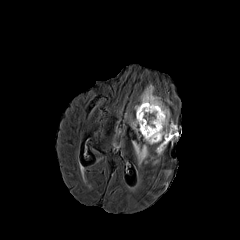
FLAIR MR image.
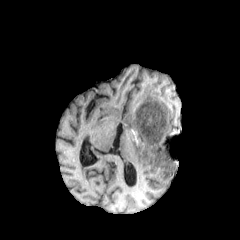
T1-weighted MR.
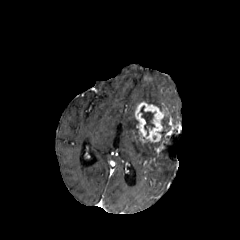
Post-contrast T1-weighted MR.
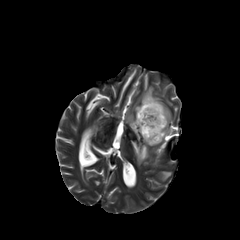
Same slice, T2-weighted MR.
240x240, Axial slice
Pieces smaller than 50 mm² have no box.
necrotic tumor core: bounding box 140,106,154,135
peritumoral edema: bounding box 160,115,171,141; 132,141,159,164; 140,85,163,110; 130,119,140,138; 166,125,178,142
enhancing tumor: bounding box 156,120,176,154; 135,101,169,142